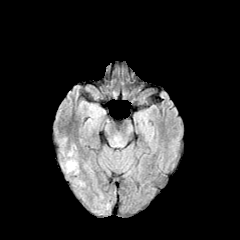
FLAIR magnetic resonance.
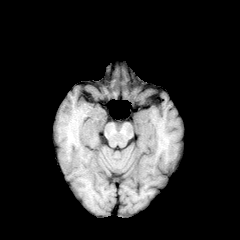
T1-weighted MRI.
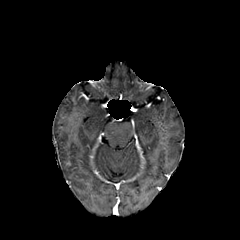
Same slice, post-contrast T1-weighted MR.
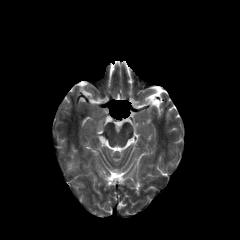
T2-weighted magnetic resonance of the same slice.
Head. Axial plane.
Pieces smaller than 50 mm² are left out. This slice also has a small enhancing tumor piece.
peritumoral edema = region(65, 159, 78, 173)